FLAIR MRI.
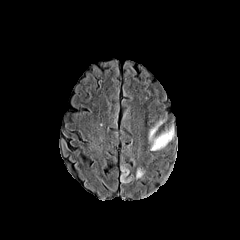
T1-weighted MR.
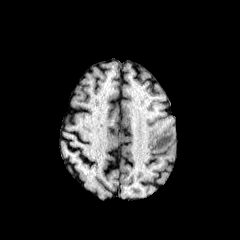
Post-contrast T1-weighted MRI.
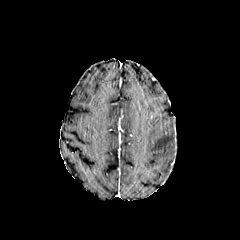
T2-weighted MR image.
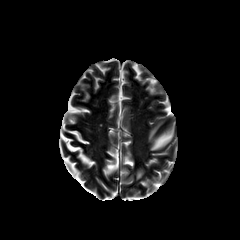
Axial view; Head
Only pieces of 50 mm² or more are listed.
peritumoral edema: x1=149, y1=121, x2=173, y2=150; x1=120, y1=164, x2=133, y2=182; x1=136, y1=168, x2=144, y2=179